Slice index 110, Head, Image width 240 mm, Axial slice
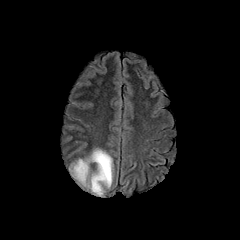
FLAIR MR image.
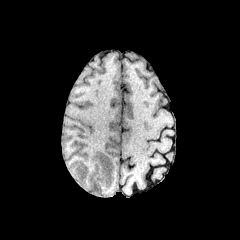
T1-weighted MRI.
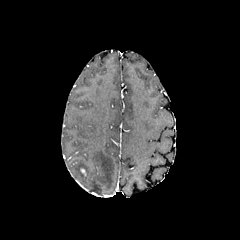
Post-contrast T1-weighted magnetic resonance of the same slice.
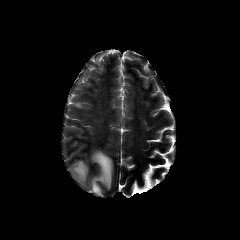
T2-weighted MR.
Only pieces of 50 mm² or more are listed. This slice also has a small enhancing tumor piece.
{
  "peritumoral_edema": [
    "(70,149,112,195)"
  ]
}